Image width 240 mm. Slice index 62. Head. 240x240.
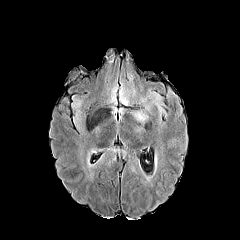
FLAIR MR image.
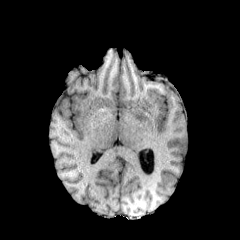
T1-weighted magnetic resonance of the same slice.
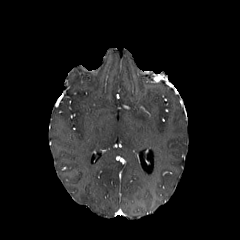
Same slice, post-contrast T1-weighted magnetic resonance.
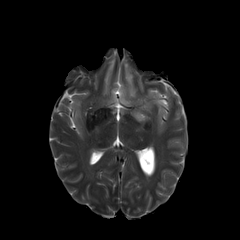
T2-weighted MR image.
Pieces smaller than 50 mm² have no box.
peritumoral edema — bbox=[152, 95, 161, 111]; bbox=[133, 111, 147, 121]